FLAIR MRI.
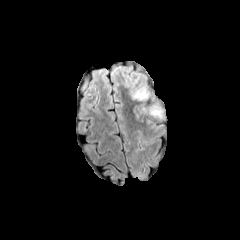
T1-weighted MR.
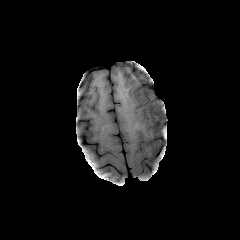
Post-contrast T1-weighted MR image.
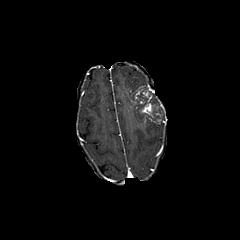
T2-weighted magnetic resonance.
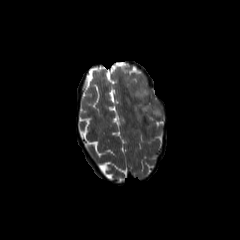
Brain
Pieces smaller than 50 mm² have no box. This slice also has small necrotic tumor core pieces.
The 3 largest peritumoral edema regions appear at 136, 105, 145, 116; 153, 102, 163, 118; 122, 71, 146, 98. The largest enhancing tumor region appears at 133, 86, 162, 124.